Slice 95 of 155. Axial plane. Image width 240 mm. Brain.
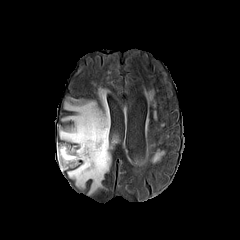
FLAIR magnetic resonance.
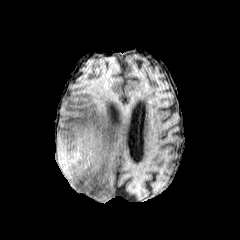
T1-weighted MRI.
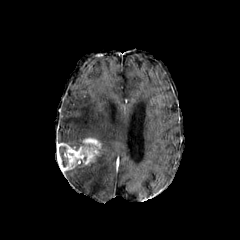
Post-contrast T1-weighted magnetic resonance.
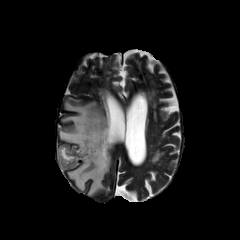
T2-weighted MR image.
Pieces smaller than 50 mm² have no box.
enhancing tumor: bounding box (x1=58, y1=137, x2=102, y2=171)
necrotic tumor core: bounding box (x1=59, y1=146, x2=67, y2=166)
peritumoral edema: bounding box (x1=59, y1=92, x2=110, y2=193)